240x240 px, Slice 58 of 155
FLAIR MR.
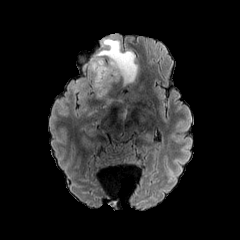
T1-weighted MR.
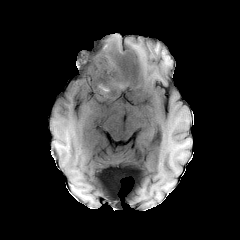
Post-contrast T1-weighted MR.
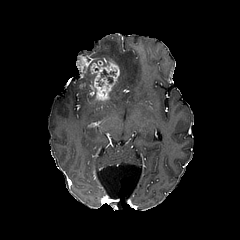
T2-weighted MR image.
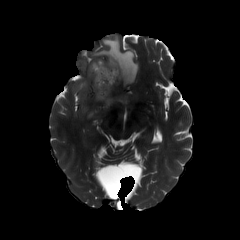
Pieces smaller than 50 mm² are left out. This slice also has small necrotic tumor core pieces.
{"enhancing_tumor": ["left=90, top=59, right=120, bottom=103"], "peritumoral_edema": ["left=95, top=36, right=137, bottom=83"]}